FLAIR magnetic resonance.
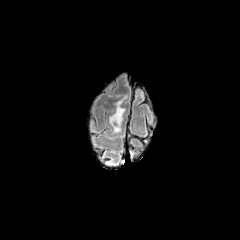
T1-weighted MR image.
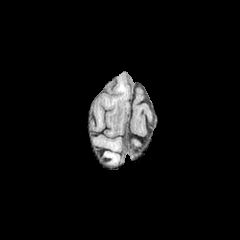
Post-contrast T1-weighted MR image.
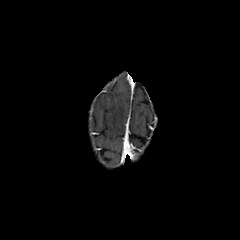
T2-weighted MRI.
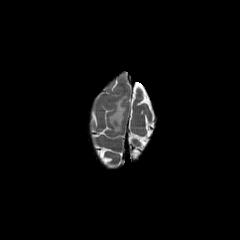
Head
The peritumoral edema appears at [109, 98, 125, 133].